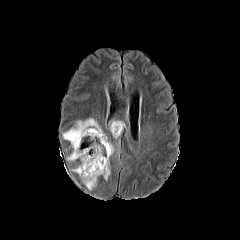
FLAIR MRI.
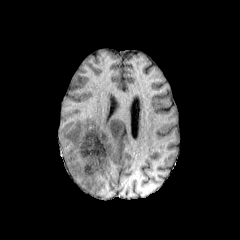
T1-weighted magnetic resonance of the same slice.
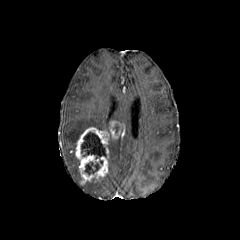
Post-contrast T1-weighted MR image.
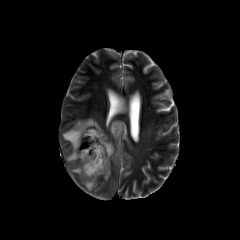
T2-weighted MRI.
Axial plane
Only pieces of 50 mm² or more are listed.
The 4 largest peritumoral edema regions are bounded by (102, 157, 110, 180), (108, 141, 115, 156), (63, 118, 101, 161), (84, 179, 96, 190). The 2 largest enhancing tumor regions are bounded by (109, 120, 124, 139), (75, 127, 109, 183). The 2 largest necrotic tumor core regions are bounded by (81, 132, 106, 158), (85, 162, 99, 174).